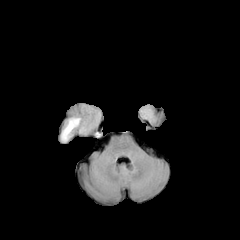
FLAIR magnetic resonance.
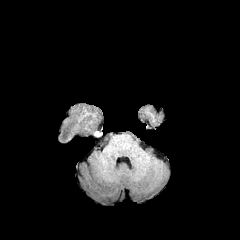
T1-weighted magnetic resonance of the same slice.
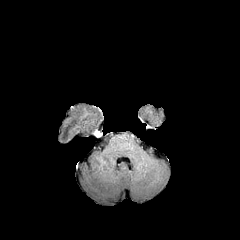
Post-contrast T1-weighted MR.
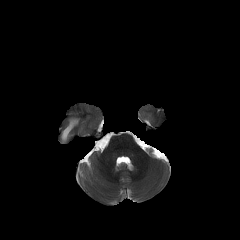
T2-weighted MR image.
Axial view. 240x240 px.
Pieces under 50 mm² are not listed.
The largest peritumoral edema region is at 61:117:80:141.